FLAIR MR image.
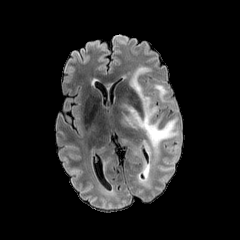
T1-weighted MRI.
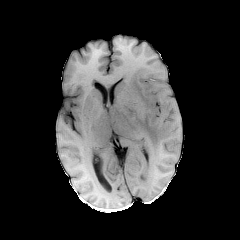
Post-contrast T1-weighted MR.
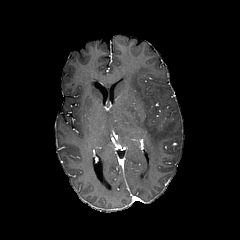
T2-weighted magnetic resonance.
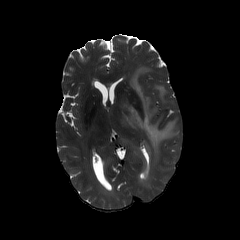
240x240 px
{
  "peritumoral_edema": [
    "region(120, 139, 141, 155)",
    "region(120, 66, 178, 158)",
    "region(154, 84, 166, 101)",
    "region(143, 163, 149, 172)"
  ]
}